Head | Axial plane | Image size 240x240
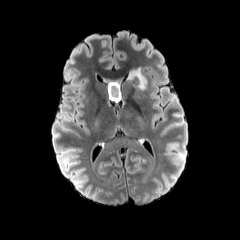
FLAIR MR image.
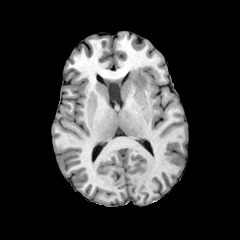
Same slice, T1-weighted MRI.
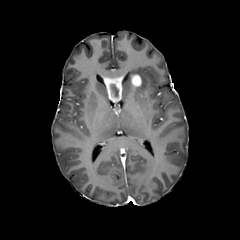
Same slice, post-contrast T1-weighted MRI.
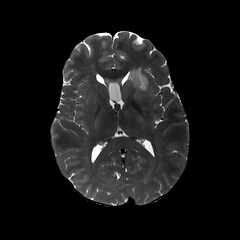
Same slice, T2-weighted MR.
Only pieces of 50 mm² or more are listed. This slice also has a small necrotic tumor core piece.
<segmentation>
  <enhancing_tumor>(x1=103, y1=77, x2=122, y2=102), (x1=131, y1=74, x2=141, y2=89)</enhancing_tumor>
  <peritumoral_edema>(x1=125, y1=67, x2=147, y2=90)</peritumoral_edema>
</segmentation>